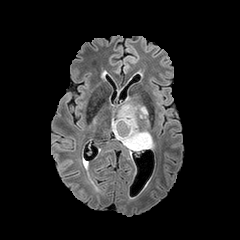
FLAIR MR image.
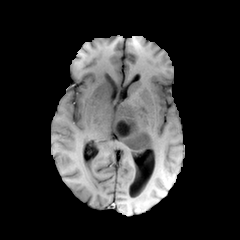
T1-weighted MR of the same slice.
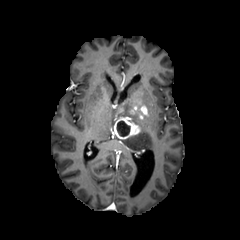
Post-contrast T1-weighted MR image.
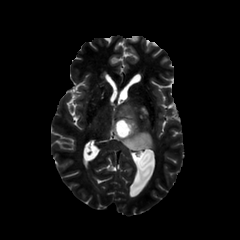
T2-weighted magnetic resonance of the same slice.
Axial slice
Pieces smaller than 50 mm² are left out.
enhancing tumor: x1=140 y1=106 x2=148 y2=115, x1=115 y1=117 x2=140 y2=138
necrotic tumor core: x1=117 y1=121 x2=129 y2=136
peritumoral edema: x1=113 y1=98 x2=152 y2=150